Head. Axial plane.
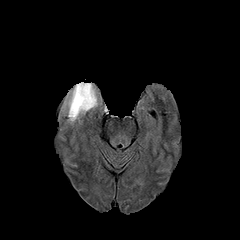
FLAIR MR image.
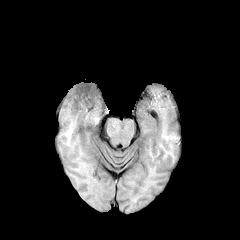
T1-weighted MR.
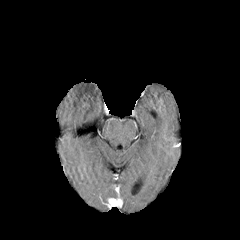
Post-contrast T1-weighted MRI of the same slice.
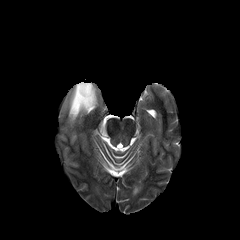
Same slice, T2-weighted MR.
peritumoral edema = 63:82:97:122